Head, 240x240 px
FLAIR MRI.
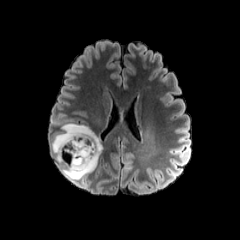
T1-weighted MR image.
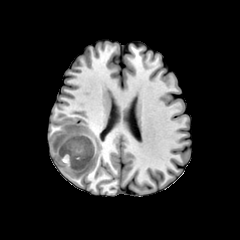
Post-contrast T1-weighted magnetic resonance.
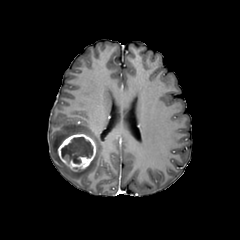
T2-weighted MR.
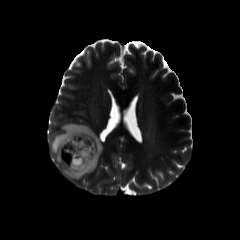
peritumoral edema at (51,123,102,181)
enhancing tumor at (57,133,96,171)
necrotic tumor core at (61,137,93,163)